Image width 240 mm, 1.00 mm slice spacing, Slice 104 of 155, Brain, 240x240 px, Axial plane
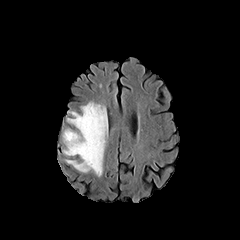
FLAIR magnetic resonance.
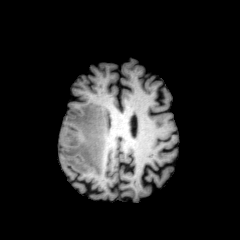
T1-weighted magnetic resonance.
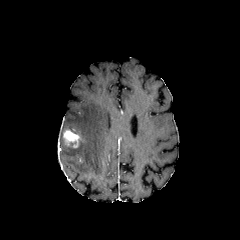
Post-contrast T1-weighted MR.
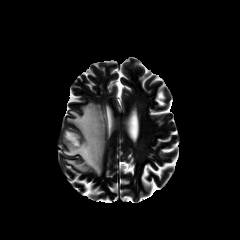
Same slice, T2-weighted MR.
peritumoral edema: <box>63,102,107,176</box> | enhancing tumor: <box>63,129,81,148</box>